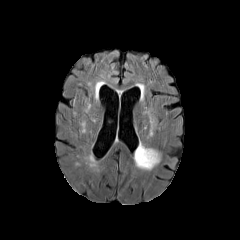
FLAIR magnetic resonance.
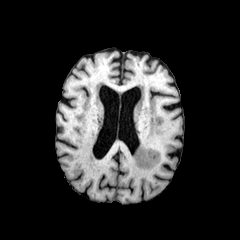
T1-weighted MR.
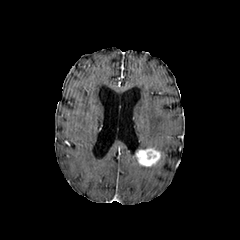
Same slice, post-contrast T1-weighted MR.
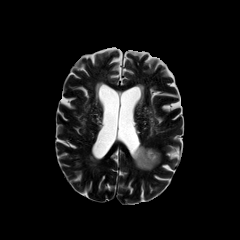
T2-weighted magnetic resonance.
240x240 px; Brain; Axial view
enhancing_tumor:
  - (x1=135, y1=148, x2=160, y2=166)
peritumoral_edema:
  - (x1=133, y1=154, x2=160, y2=170)
  - (x1=135, y1=142, x2=148, y2=153)
  - (x1=150, y1=116, x2=155, y2=135)